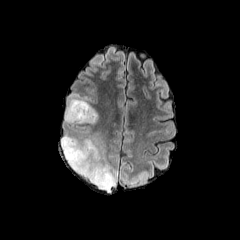
FLAIR MRI.
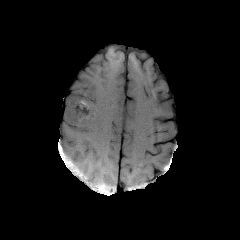
T1-weighted magnetic resonance of the same slice.
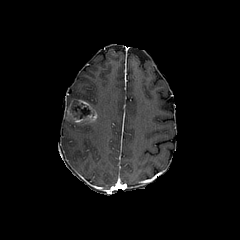
Post-contrast T1-weighted MR image.
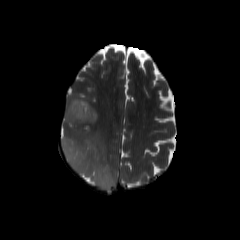
T2-weighted MRI of the same slice.
Axial plane, Head, 240x240 px
The necrotic tumor core lies within x1=70, y1=101, x2=90, y2=118. 2 peritumoral edema regions are bounded by x1=61, y1=136, x2=117, y2=190; x1=65, y1=94, x2=100, y2=125. The enhancing tumor is located at x1=66, y1=99, x2=97, y2=122.